Axial view, Head, Slice 92/155, 240x240
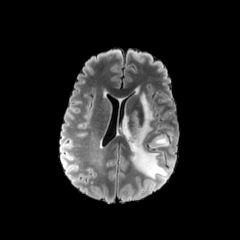
FLAIR MRI.
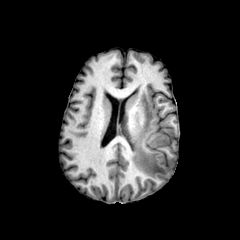
T1-weighted MR image of the same slice.
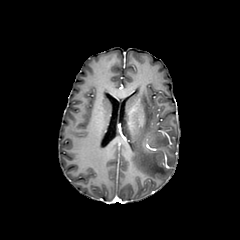
Post-contrast T1-weighted MRI.
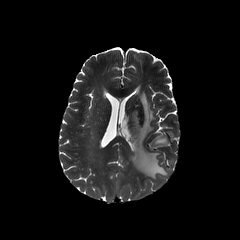
T2-weighted MR image.
2 peritumoral edema regions are located at {"x1": 122, "y1": 94, "x2": 168, "y2": 179}, {"x1": 149, "y1": 134, "x2": 168, "y2": 147}.